FLAIR MR image.
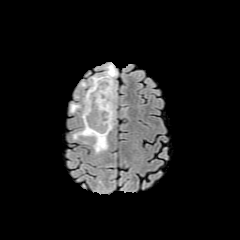
T1-weighted MR image.
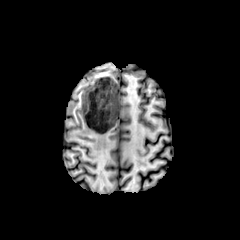
Post-contrast T1-weighted magnetic resonance.
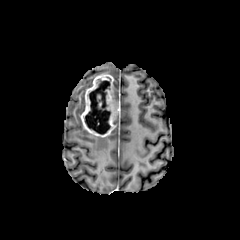
T2-weighted MR.
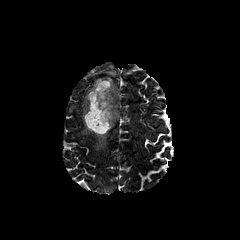
Brain. 240x240 px. Axial plane.
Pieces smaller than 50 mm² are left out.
Findings:
- peritumoral edema: 70 103 80 112, 73 127 108 152, 103 64 117 77
- enhancing tumor: 80 74 119 137
- necrotic tumor core: 85 79 110 134